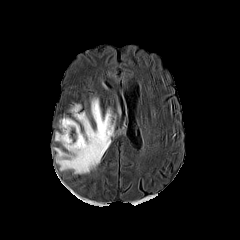
FLAIR MR.
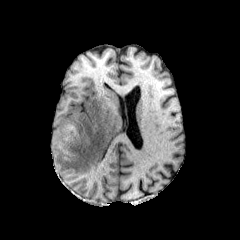
T1-weighted MR.
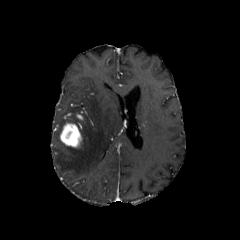
Same slice, post-contrast T1-weighted MRI.
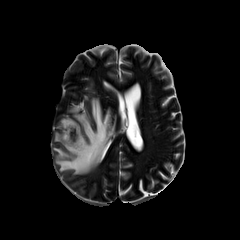
T2-weighted magnetic resonance of the same slice.
Axial view | 240x240
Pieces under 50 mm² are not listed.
peritumoral edema: region(60, 119, 80, 132); region(53, 98, 115, 174)
enhancing tumor: region(60, 123, 82, 148)